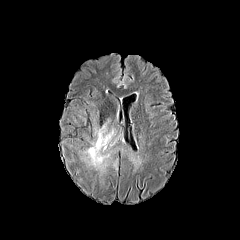
FLAIR MR.
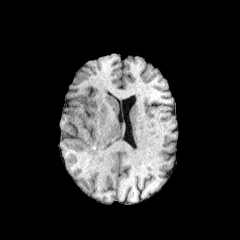
T1-weighted MR image.
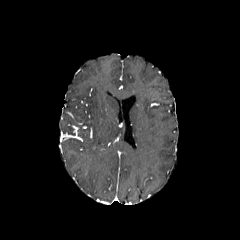
Post-contrast T1-weighted MR.
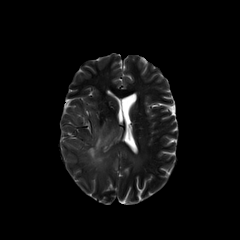
T2-weighted magnetic resonance of the same slice.
Head | Axial slice | 240x240
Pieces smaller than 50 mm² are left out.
{"peritumoral_edema": ["box=[83, 120, 115, 172]"]}